FLAIR MR.
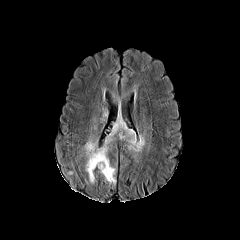
T1-weighted MR.
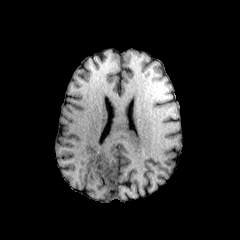
Post-contrast T1-weighted MR.
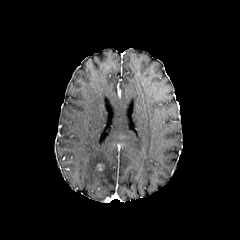
T2-weighted magnetic resonance.
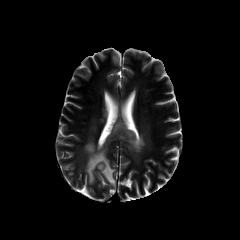
Axial view. Head.
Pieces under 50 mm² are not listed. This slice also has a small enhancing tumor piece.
<segmentation>
  <peritumoral_edema>l=84, t=119, r=143, b=185</peritumoral_edema>
</segmentation>